FLAIR MR image.
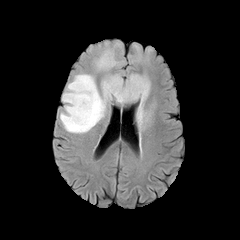
T1-weighted magnetic resonance.
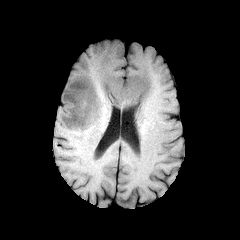
Post-contrast T1-weighted MR.
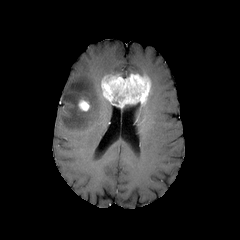
T2-weighted MR.
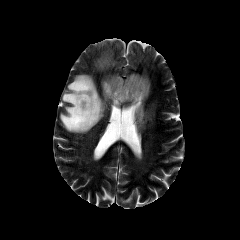
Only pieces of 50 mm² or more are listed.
enhancing tumor: bounding box (x1=78, y1=98, x2=90, y2=111), (x1=101, y1=73, x2=151, y2=107)
peritumoral edema: bounding box (x1=60, y1=73, x2=109, y2=133), (x1=136, y1=103, x2=150, y2=127), (x1=95, y1=49, x2=119, y2=70)